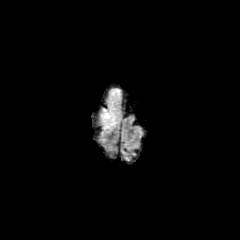
FLAIR magnetic resonance.
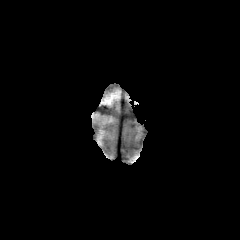
Same slice, T1-weighted MR.
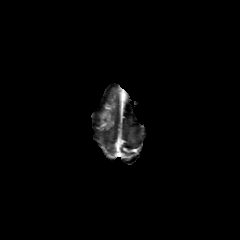
Post-contrast T1-weighted magnetic resonance.
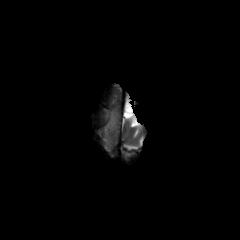
T2-weighted MR image of the same slice.
Head
enhancing tumor at x1=99, y1=105, x2=113, y2=130
peritumoral edema at x1=102, y1=99, x2=116, y2=133